FLAIR MRI.
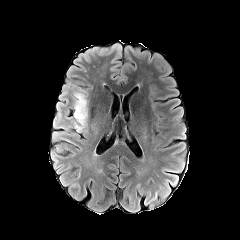
T1-weighted MRI.
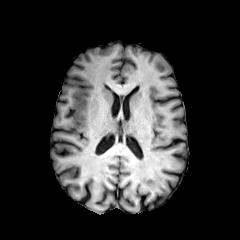
Post-contrast T1-weighted MRI.
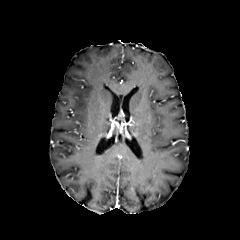
T2-weighted MR.
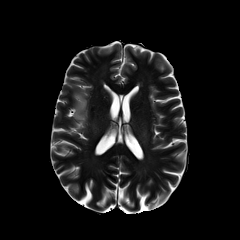
The peritumoral edema is located at (left=72, top=87, right=88, bottom=132).